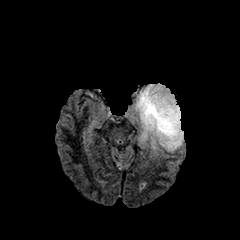
FLAIR MR.
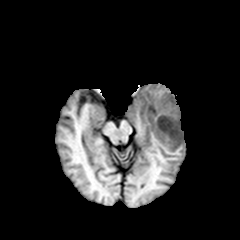
T1-weighted MR image of the same slice.
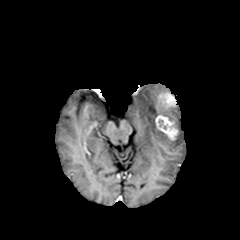
Post-contrast T1-weighted magnetic resonance.
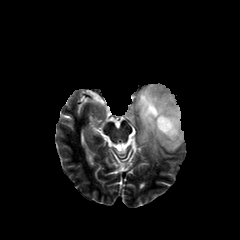
T2-weighted MR of the same slice.
240x240 | Axial plane | Head
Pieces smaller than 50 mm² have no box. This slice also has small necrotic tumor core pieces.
peritumoral edema: 130,83,184,155
enhancing tumor: 155,114,178,140; 156,92,176,112